Axial slice | Slice 60 of 155
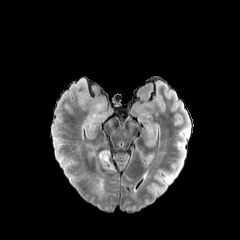
FLAIR magnetic resonance.
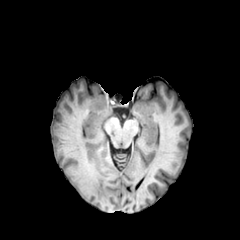
T1-weighted magnetic resonance.
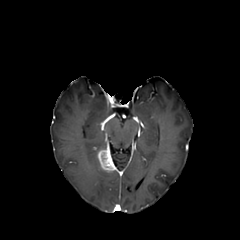
Post-contrast T1-weighted MRI of the same slice.
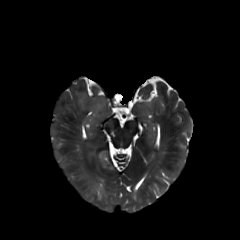
T2-weighted MR image of the same slice.
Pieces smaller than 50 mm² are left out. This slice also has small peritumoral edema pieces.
enhancing tumor = l=97, t=149, r=114, b=171